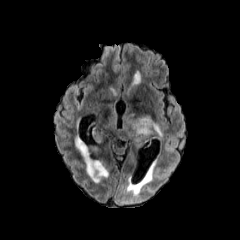
FLAIR MR image.
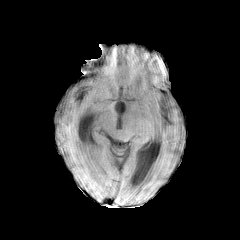
T1-weighted MR.
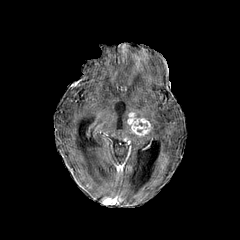
Same slice, post-contrast T1-weighted MRI.
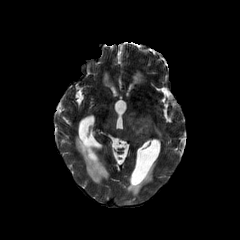
Same slice, T2-weighted MR image.
Brain; Axial slice
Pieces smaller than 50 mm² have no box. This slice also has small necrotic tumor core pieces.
enhancing tumor: 126 113 151 137 | peritumoral edema: 136 114 161 135, 122 111 140 139, 104 110 117 130